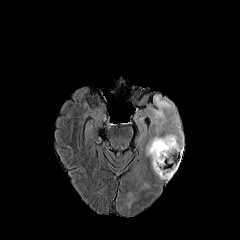
FLAIR MR image.
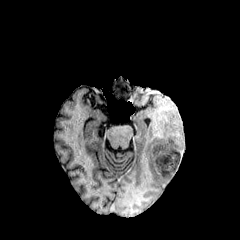
T1-weighted MR image of the same slice.
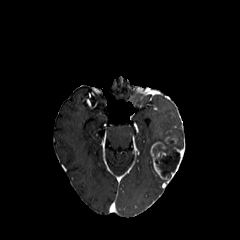
Post-contrast T1-weighted MR.
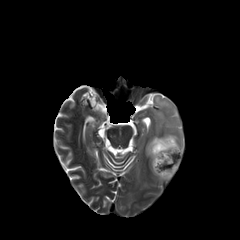
T2-weighted magnetic resonance of the same slice.
240x240
enhancing tumor = bbox=[164, 136, 176, 144]; bbox=[150, 141, 183, 180]
necrotic tumor core = bbox=[153, 140, 179, 177]
peritumoral edema = bbox=[146, 96, 183, 155]